FLAIR MR image.
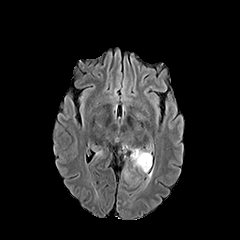
T1-weighted MR.
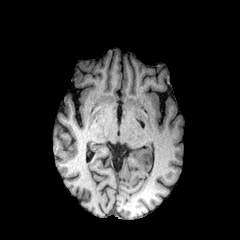
Post-contrast T1-weighted MR.
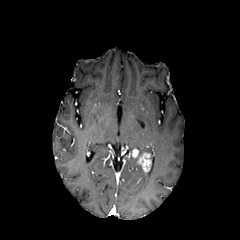
T2-weighted MR.
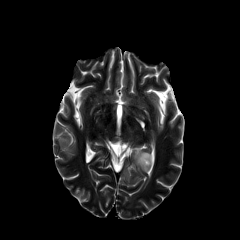
240x240.
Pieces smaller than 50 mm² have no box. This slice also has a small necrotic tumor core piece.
<segmentation>
  <peritumoral_edema>bbox=[146, 170, 152, 185]; bbox=[131, 154, 143, 171]</peritumoral_edema>
  <enhancing_tumor>bbox=[132, 149, 151, 172]</enhancing_tumor>
</segmentation>